Image covers 240 mm x 240 mm
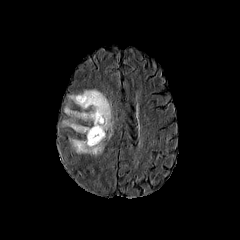
FLAIR magnetic resonance.
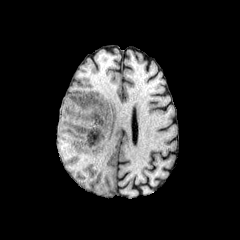
Same slice, T1-weighted MR.
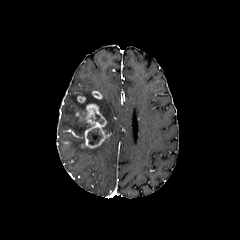
Same slice, post-contrast T1-weighted magnetic resonance.
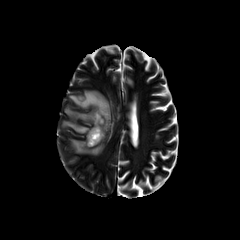
Same slice, T2-weighted MR.
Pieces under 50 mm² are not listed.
necrotic tumor core — (87, 128, 101, 144)
peritumoral edema — (69, 138, 104, 155), (68, 89, 113, 131), (62, 106, 85, 133)
enhancing tumor — (81, 103, 109, 148), (92, 91, 102, 99)